FLAIR MR.
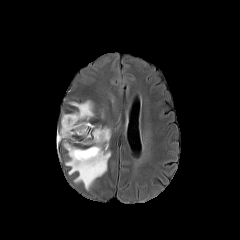
T1-weighted MRI.
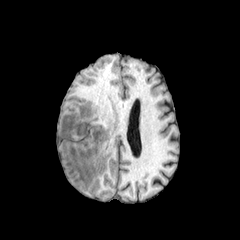
Post-contrast T1-weighted MR image.
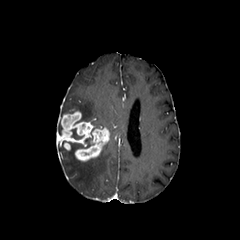
T2-weighted MR image.
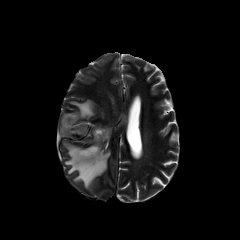
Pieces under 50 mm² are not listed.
The enhancing tumor is at 57,111,109,161. The 2 largest peritumoral edema regions appear at 69,100,94,122; 65,142,110,189.